Slice 112 of 155.
FLAIR MR image.
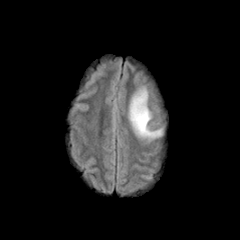
T1-weighted magnetic resonance.
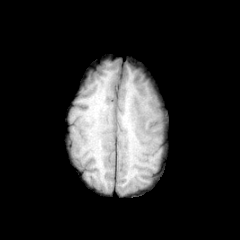
Post-contrast T1-weighted MR.
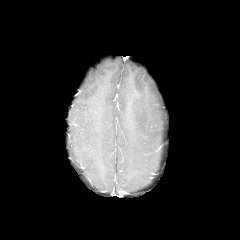
T2-weighted magnetic resonance.
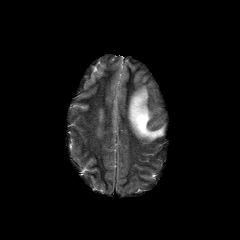
peritumoral edema = (left=129, top=88, right=162, bottom=140)